Axial view
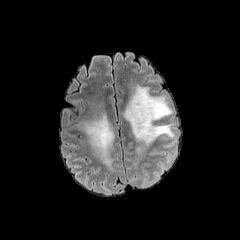
FLAIR magnetic resonance.
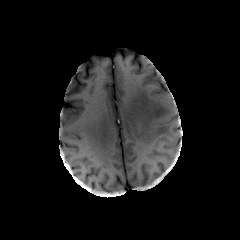
Same slice, T1-weighted magnetic resonance.
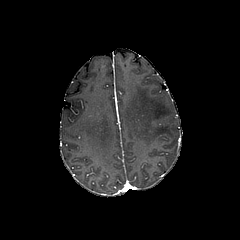
Post-contrast T1-weighted MR image.
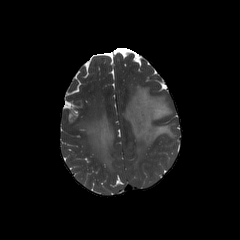
Same slice, T2-weighted MR.
2 peritumoral edema regions are located at l=80, t=113, r=114, b=168; l=123, t=84, r=174, b=152.